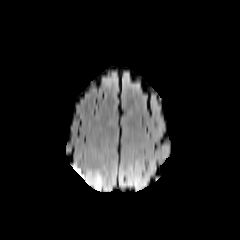
FLAIR MR.
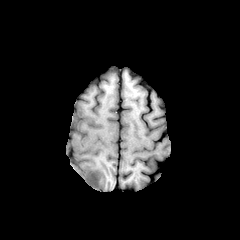
T1-weighted MR image.
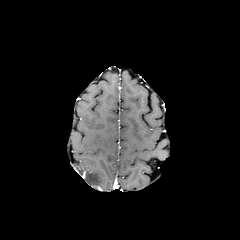
Post-contrast T1-weighted MRI of the same slice.
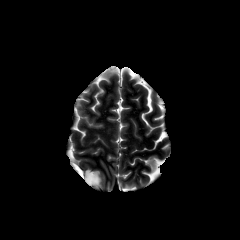
Same slice, T2-weighted MR.
Head. Axial view.
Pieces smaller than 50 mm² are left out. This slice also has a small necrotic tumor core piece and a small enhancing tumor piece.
<segmentation>
  <peritumoral_edema><box>84,172,103,188</box></peritumoral_edema>
</segmentation>